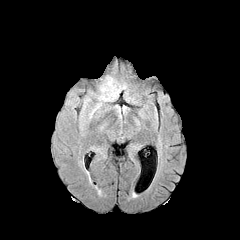
FLAIR MR image.
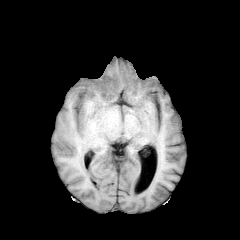
T1-weighted MR.
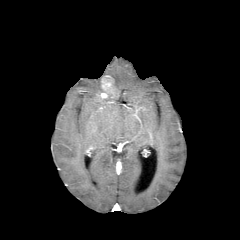
Post-contrast T1-weighted MR image.
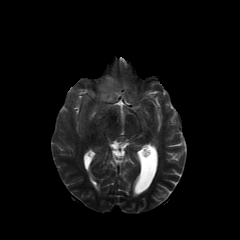
Same slice, T2-weighted MR image.
Head
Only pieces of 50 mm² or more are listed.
Annotated regions:
* peritumoral edema: rect(103, 83, 118, 99)
* enhancing tumor: rect(101, 76, 113, 98)